Image covers 240 mm x 240 mm. Brain.
FLAIR magnetic resonance.
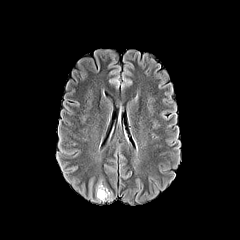
T1-weighted MRI.
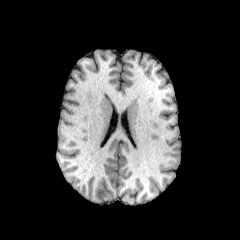
Post-contrast T1-weighted MR.
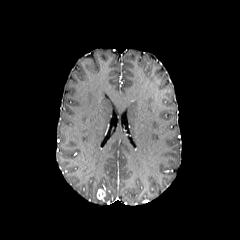
T2-weighted magnetic resonance.
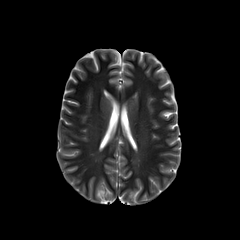
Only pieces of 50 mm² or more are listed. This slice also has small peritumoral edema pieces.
<segmentation>
  <enhancing_tumor>[x1=97, y1=189, x2=105, y2=199]</enhancing_tumor>
</segmentation>